Axial plane
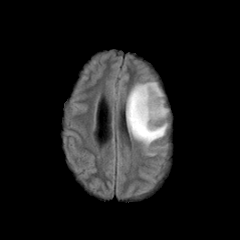
FLAIR magnetic resonance.
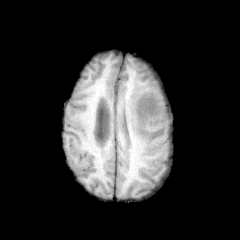
T1-weighted MRI.
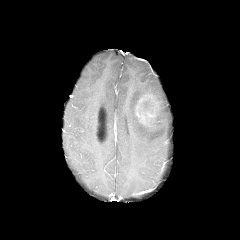
Post-contrast T1-weighted MR image of the same slice.
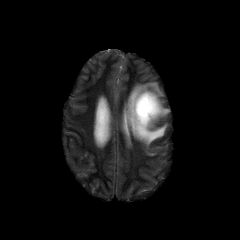
T2-weighted magnetic resonance of the same slice.
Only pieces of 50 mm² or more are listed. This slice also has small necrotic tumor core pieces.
The enhancing tumor lies within [136, 94, 158, 124]. The largest peritumoral edema region appears at [126, 82, 168, 147].